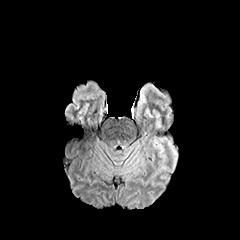
FLAIR magnetic resonance.
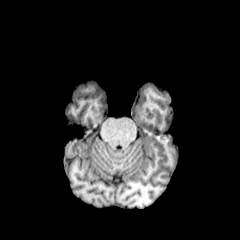
T1-weighted MRI.
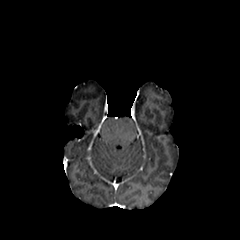
Post-contrast T1-weighted MRI of the same slice.
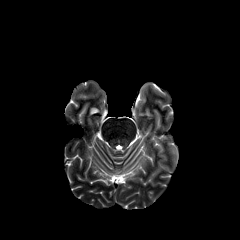
Same slice, T2-weighted MRI.
Head.
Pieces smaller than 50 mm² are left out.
peritumoral edema — bbox=[168, 142, 176, 161]